Brain
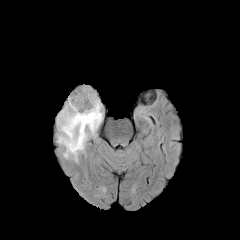
FLAIR MR image.
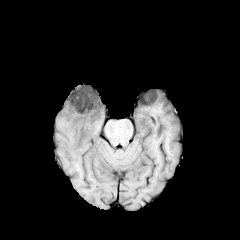
Same slice, T1-weighted MRI.
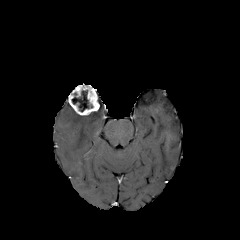
Post-contrast T1-weighted magnetic resonance.
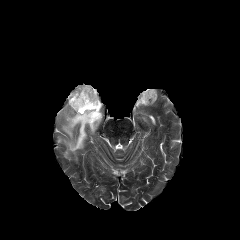
Same slice, T2-weighted MR image.
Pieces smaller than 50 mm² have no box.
enhancing_tumor:
  - left=68, top=84, right=99, bottom=115
necrotic_tumor_core:
  - left=72, top=91, right=89, bottom=111
peritumoral_edema:
  - left=57, top=99, right=103, bottom=161